FLAIR MR image.
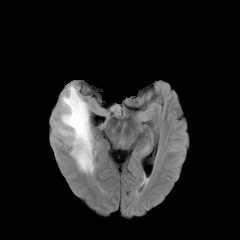
T1-weighted MR image.
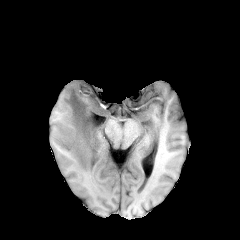
Post-contrast T1-weighted MR.
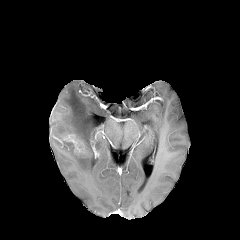
T2-weighted magnetic resonance.
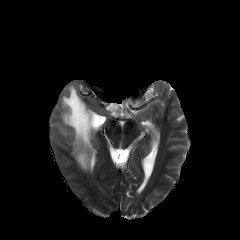
Axial view.
The peritumoral edema is bounded by box=[57, 84, 94, 173]. The enhancing tumor is at box=[63, 134, 86, 155].